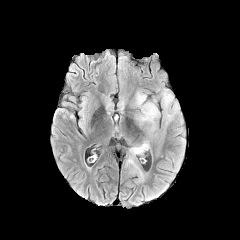
FLAIR MR image.
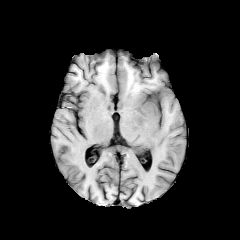
Same slice, T1-weighted MR.
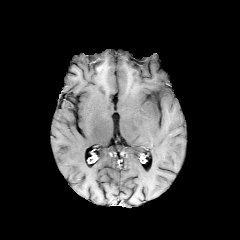
Post-contrast T1-weighted magnetic resonance of the same slice.
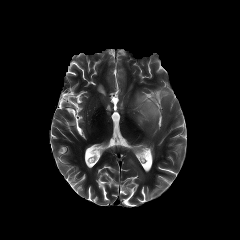
Same slice, T2-weighted MRI.
240x240 px. Axial view. Brain.
The peritumoral edema lies within box(131, 89, 162, 136).